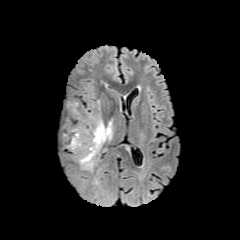
FLAIR magnetic resonance.
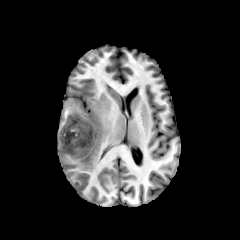
T1-weighted magnetic resonance.
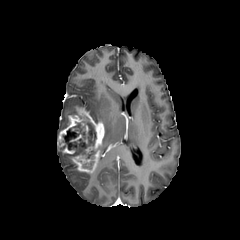
Post-contrast T1-weighted magnetic resonance of the same slice.
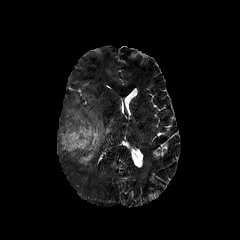
T2-weighted MR image.
240x240 px, Axial slice
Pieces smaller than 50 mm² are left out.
The 3 largest peritumoral edema regions are located at [102,120,112,144], [72,102,77,114], [90,112,102,121]. 2 necrotic tumor core regions are located at [63,122,96,159], [83,161,93,169]. The enhancing tumor lies within [57,107,104,172].